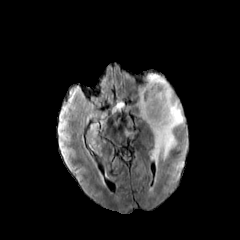
FLAIR MR.
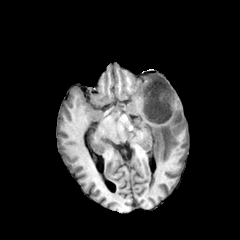
Same slice, T1-weighted magnetic resonance.
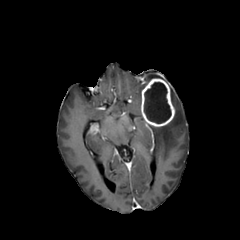
Post-contrast T1-weighted MR of the same slice.
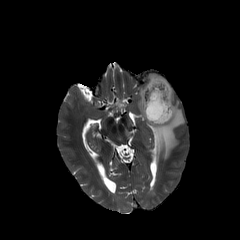
T2-weighted MR.
Brain
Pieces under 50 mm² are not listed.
peritumoral edema: bbox(150, 88, 184, 163); bbox(147, 74, 163, 81) | enhancing tumor: bbox(141, 78, 175, 126) | necrotic tumor core: bbox(144, 82, 171, 123)